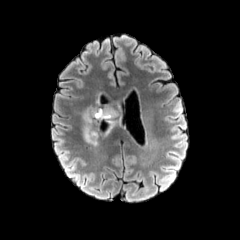
FLAIR MR image.
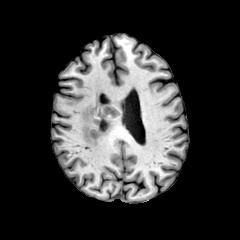
Same slice, T1-weighted MRI.
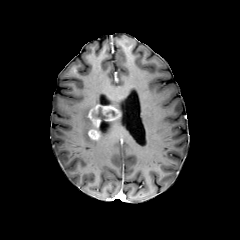
Same slice, post-contrast T1-weighted MR.
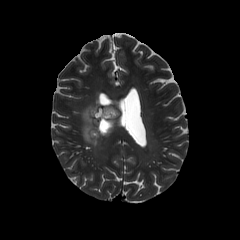
Same slice, T2-weighted MR image.
Head | 240x240 px | Axial plane
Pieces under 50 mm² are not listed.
{
  "peritumoral_edema": [
    "rect(101, 120, 114, 137)",
    "rect(82, 99, 100, 145)"
  ],
  "enhancing_tumor": [
    "rect(88, 105, 120, 140)"
  ],
  "necrotic_tumor_core": [
    "rect(93, 110, 105, 118)"
  ]
}